Image covers 240 mm x 240 mm, Head, Slice index 115
FLAIR magnetic resonance.
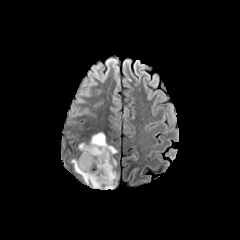
T1-weighted magnetic resonance.
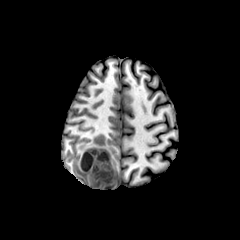
Post-contrast T1-weighted MR image.
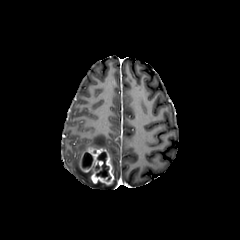
T2-weighted magnetic resonance.
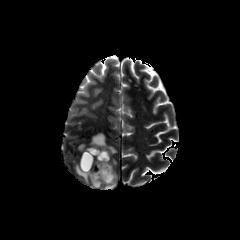
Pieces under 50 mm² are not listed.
The 2 largest necrotic tumor core regions appear at [82, 152, 92, 170], [95, 152, 110, 181]. The 2 largest peritumoral edema regions are bounded by [72, 159, 102, 187], [78, 132, 118, 183]. The enhancing tumor is at [79, 147, 114, 185].